Axial plane. Head.
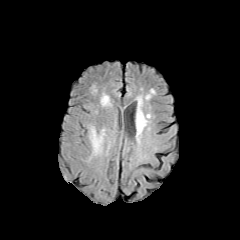
FLAIR MR.
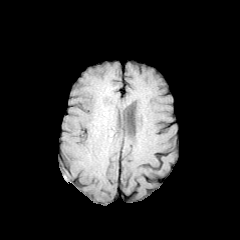
T1-weighted MR image.
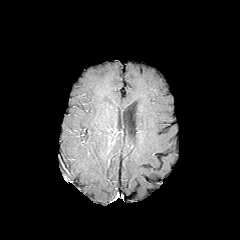
Post-contrast T1-weighted MR.
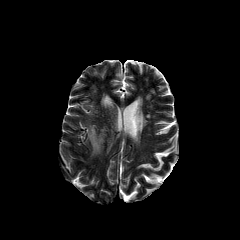
T2-weighted magnetic resonance of the same slice.
<segmentation>
  <peritumoral_edema><bbox>89, 126, 104, 154</bbox></peritumoral_edema>
</segmentation>